FLAIR MR.
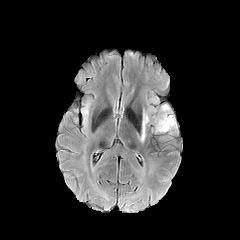
T1-weighted MR image.
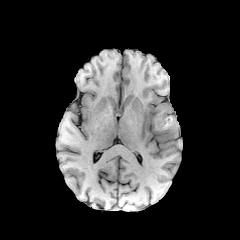
Post-contrast T1-weighted MR.
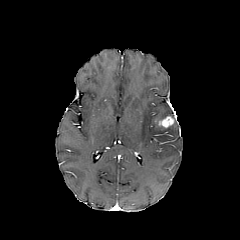
T2-weighted MR image.
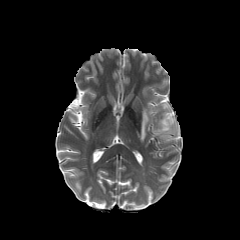
Head. Axial plane. 240x240.
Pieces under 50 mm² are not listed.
Findings:
- enhancing tumor: bbox=[158, 115, 174, 128]
- peritumoral edema: bbox=[155, 104, 176, 133]; bbox=[139, 110, 149, 142]